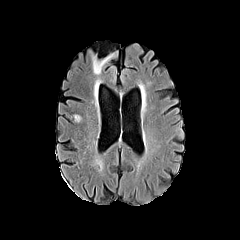
FLAIR magnetic resonance.
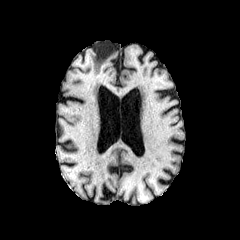
T1-weighted MRI.
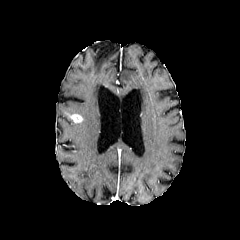
Post-contrast T1-weighted magnetic resonance.
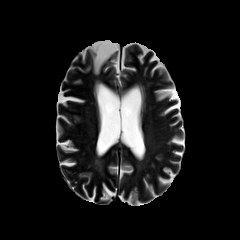
Same slice, T2-weighted magnetic resonance.
Brain.
Annotated regions:
- enhancing tumor: {"x1": 65, "y1": 113, "x2": 82, "y2": 123}